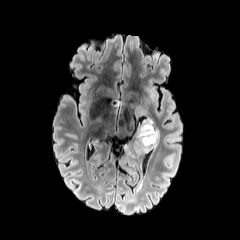
FLAIR MR image.
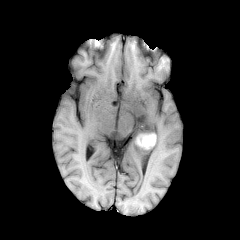
T1-weighted MR image.
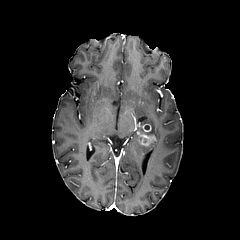
Post-contrast T1-weighted magnetic resonance of the same slice.
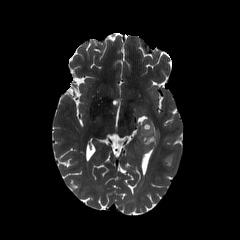
Same slice, T2-weighted MR image.
Image size 240x240; Brain
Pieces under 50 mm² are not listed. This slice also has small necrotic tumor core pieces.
enhancing tumor: box=[138, 124, 155, 146] | peritumoral edema: box=[138, 119, 159, 152]